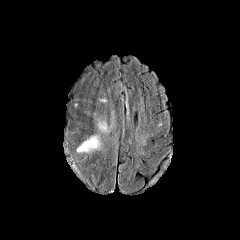
FLAIR MR.
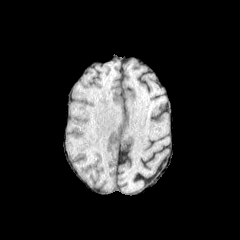
T1-weighted magnetic resonance.
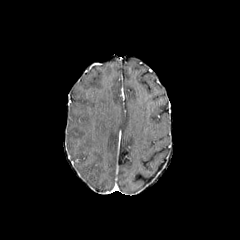
Same slice, post-contrast T1-weighted MR image.
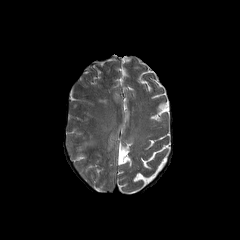
T2-weighted MRI of the same slice.
Axial plane
peritumoral edema: <bbox>77, 138, 97, 151</bbox>